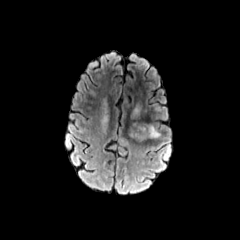
FLAIR MR.
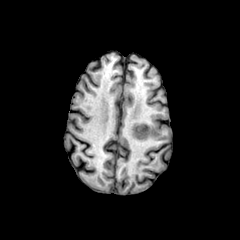
Same slice, T1-weighted MR image.
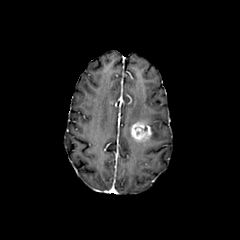
Same slice, post-contrast T1-weighted MR image.
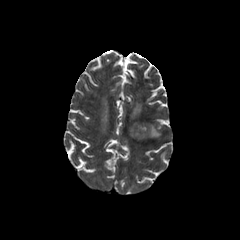
T2-weighted MRI of the same slice.
Head; 240x240 px; Axial view
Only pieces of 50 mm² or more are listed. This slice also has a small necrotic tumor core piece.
Annotated regions:
* peritumoral edema: (133,106,140,115), (148,124,160,138)
* enhancing tumor: (129,120,152,142)